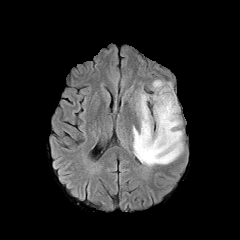
FLAIR MR.
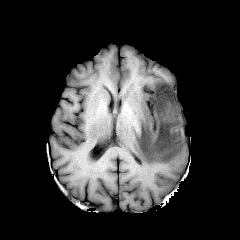
T1-weighted MRI of the same slice.
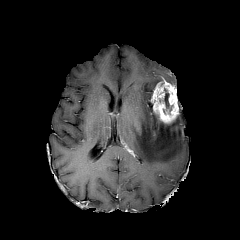
Post-contrast T1-weighted magnetic resonance.
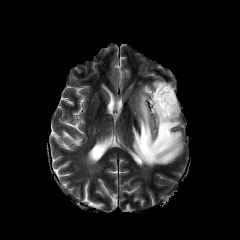
Same slice, T2-weighted MRI.
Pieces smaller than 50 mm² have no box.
peritumoral edema: (132, 92, 183, 166)
necrotic tumor core: (164, 93, 169, 107)
enhancing tumor: (150, 80, 179, 124)